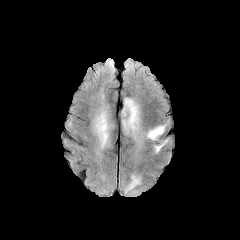
FLAIR MR.
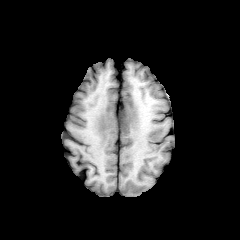
T1-weighted MRI.
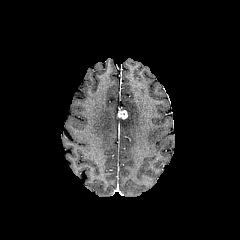
Post-contrast T1-weighted MR image of the same slice.
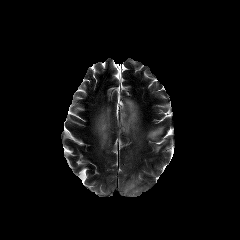
T2-weighted MR of the same slice.
Brain, Axial slice
Segmented structures:
• peritumoral edema: bbox=[154, 141, 166, 152]; bbox=[147, 126, 164, 140]; bbox=[121, 98, 139, 138]; bbox=[125, 175, 139, 193]; bbox=[94, 109, 110, 148]
• enhancing tumor: bbox=[119, 110, 127, 119]